Brain
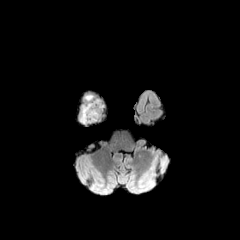
FLAIR MR.
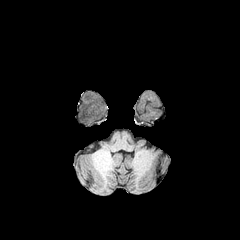
T1-weighted magnetic resonance.
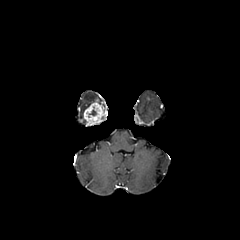
Post-contrast T1-weighted magnetic resonance of the same slice.
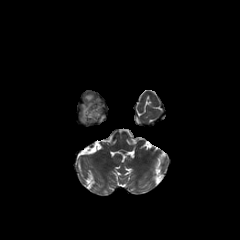
Same slice, T2-weighted MR.
{
  "enhancing_tumor": [
    "83:99:103:125"
  ],
  "peritumoral_edema": [
    "99:99:106:120",
    "79:94:98:124"
  ],
  "necrotic_tumor_core": [
    "87:106:99:117"
  ]
}